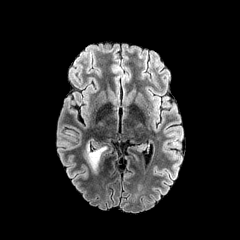
FLAIR MR.
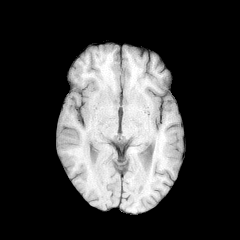
Same slice, T1-weighted MR.
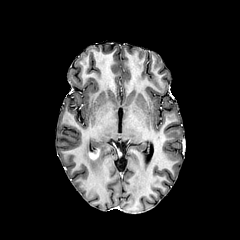
Post-contrast T1-weighted MR image.
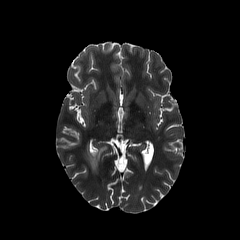
Same slice, T2-weighted MR image.
Brain, Axial plane
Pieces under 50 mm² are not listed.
enhancing tumor — bbox(88, 149, 100, 160)
peritumoral edema — bbox(83, 140, 99, 173)